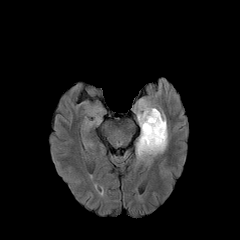
FLAIR MRI.
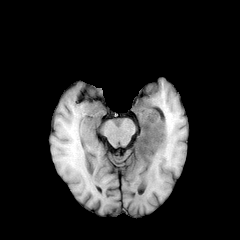
T1-weighted magnetic resonance.
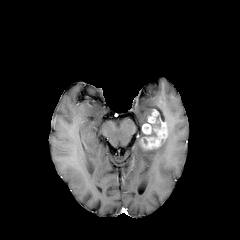
Same slice, post-contrast T1-weighted MRI.
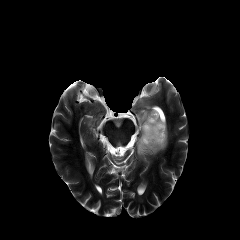
T2-weighted MR.
Head.
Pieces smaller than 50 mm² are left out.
enhancing tumor: bounding box [x1=140, y1=110, x2=167, y2=149]
necrotic tumor core: bounding box [x1=147, y1=124, x2=161, y2=136]
peritumoral edema: bounding box [x1=135, y1=100, x2=167, y2=160]